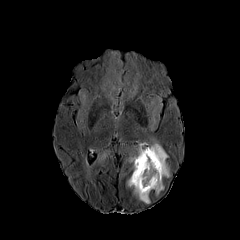
FLAIR MRI.
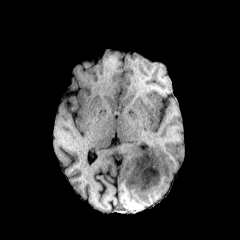
T1-weighted magnetic resonance.
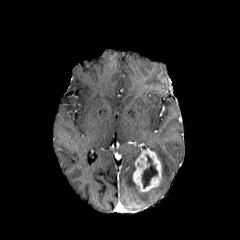
Same slice, post-contrast T1-weighted MRI.
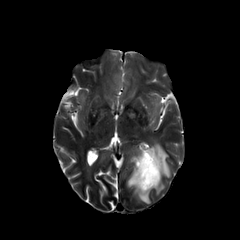
T2-weighted MR of the same slice.
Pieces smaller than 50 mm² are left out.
peritumoral_edema:
  - (x1=148, y1=139, x2=170, y2=195)
  - (x1=101, y1=150, x2=109, y2=160)
  - (x1=168, y1=99, x2=178, y2=112)
  - (x1=119, y1=146, x2=140, y2=170)
  - (x1=102, y1=63, x2=139, y2=104)
  - (x1=127, y1=174, x2=150, y2=203)
  - (x1=146, y1=96, x2=161, y2=130)
enhancing_tumor:
  - (x1=132, y1=144, x2=162, y2=192)
necrotic_tumor_core:
  - (x1=142, y1=155, x2=157, y2=188)